Slice 86/155 | 240x240 | Brain
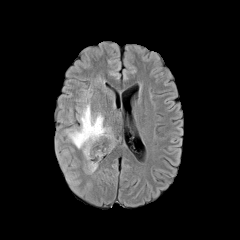
FLAIR MR image.
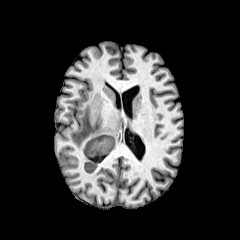
T1-weighted MRI.
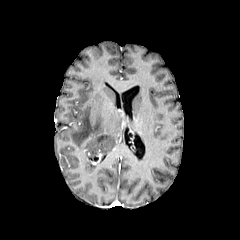
Post-contrast T1-weighted MR of the same slice.
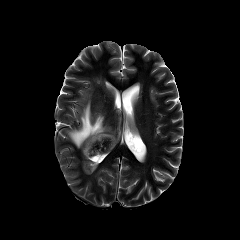
T2-weighted MR.
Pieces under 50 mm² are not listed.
peritumoral edema = [67, 102, 114, 159], [87, 162, 97, 171]